240x240.
FLAIR MRI.
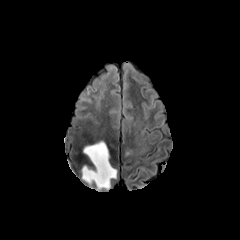
T1-weighted MR image.
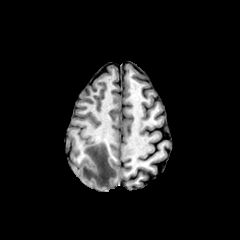
Post-contrast T1-weighted MRI.
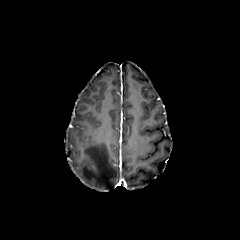
T2-weighted MRI.
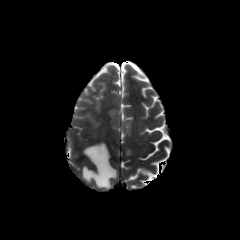
{
  "peritumoral_edema": [
    "[82, 142, 116, 189]"
  ]
}